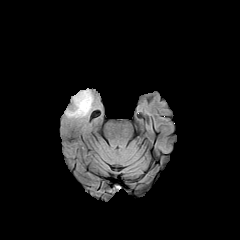
FLAIR MR.
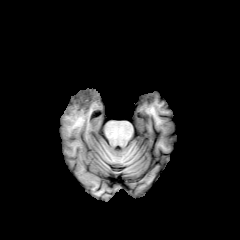
T1-weighted magnetic resonance.
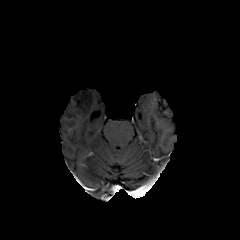
Post-contrast T1-weighted MR.
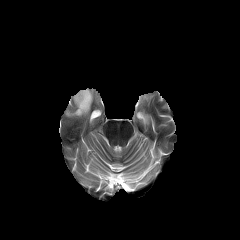
Same slice, T2-weighted magnetic resonance.
Brain
The peritumoral edema appears at 66:89:93:117.